FLAIR MR image.
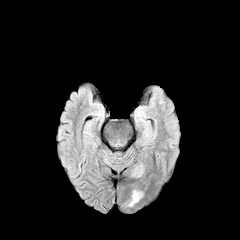
T1-weighted magnetic resonance.
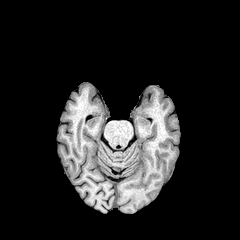
Post-contrast T1-weighted magnetic resonance.
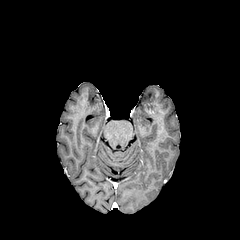
T2-weighted magnetic resonance.
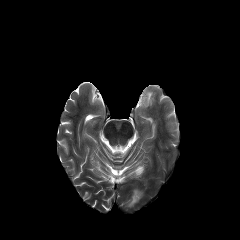
Axial slice.
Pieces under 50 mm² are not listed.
peritumoral edema: box=[129, 190, 141, 205]